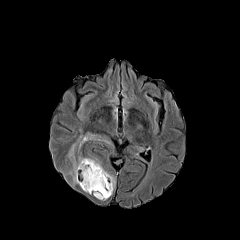
FLAIR magnetic resonance.
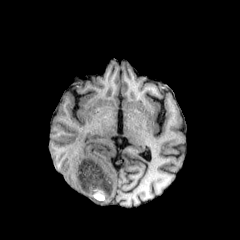
T1-weighted MR image of the same slice.
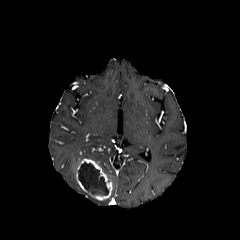
Post-contrast T1-weighted MR image.
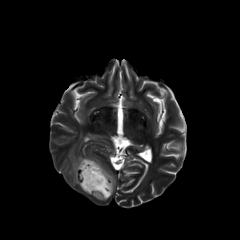
T2-weighted MR.
Axial plane. Head. 240x240 px.
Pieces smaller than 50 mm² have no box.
{"enhancing_tumor": ["box(75, 159, 112, 200)"], "peritumoral_edema": ["box(68, 130, 112, 173)", "box(103, 169, 116, 195)"], "necrotic_tumor_core": ["box(78, 162, 108, 195)"]}